FLAIR MRI.
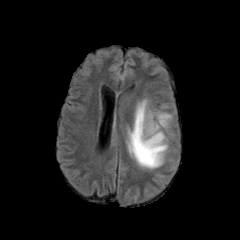
T1-weighted MR.
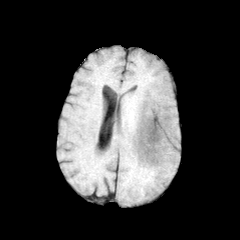
Post-contrast T1-weighted MRI.
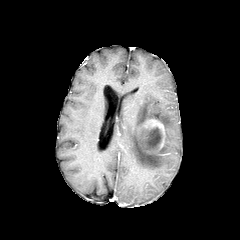
T2-weighted MRI.
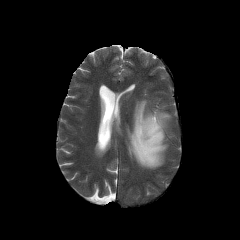
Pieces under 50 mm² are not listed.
enhancing tumor: (left=138, top=118, right=164, bottom=152)
necrotic tumor core: (left=145, top=128, right=162, bottom=144)
peritumoral edema: (left=126, top=99, right=171, bottom=169)